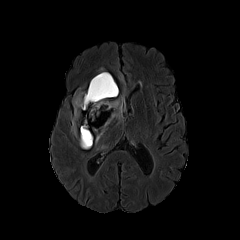
FLAIR MR.
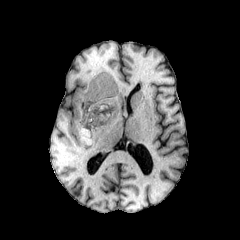
Same slice, T1-weighted MR.
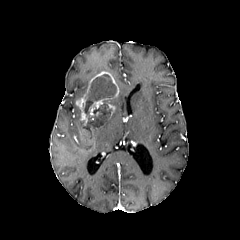
Same slice, post-contrast T1-weighted MR image.
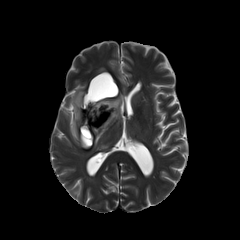
T2-weighted MR image.
Head.
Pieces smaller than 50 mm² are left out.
<segmentation>
  <peritumoral_edema><bbox>71, 91, 85, 135</bbox>, <bbox>93, 96, 124, 144</bbox></peritumoral_edema>
  <necrotic_tumor_core><bbox>82, 74, 116, 148</bbox></necrotic_tumor_core>
  <enhancing_tumor><bbox>89, 98, 107, 116</bbox>, <bbox>76, 71, 118, 150</bbox></enhancing_tumor>
</segmentation>